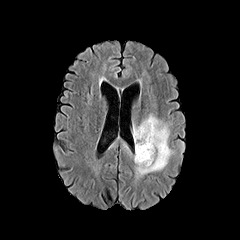
FLAIR magnetic resonance.
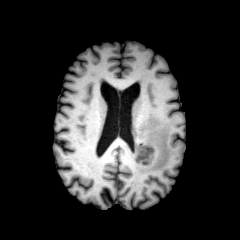
T1-weighted MR.
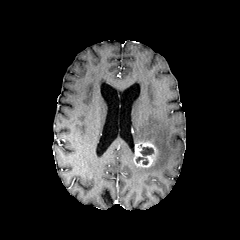
Post-contrast T1-weighted magnetic resonance of the same slice.
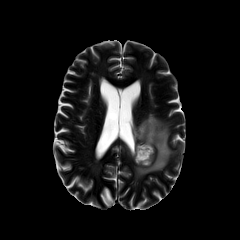
Same slice, T2-weighted MR.
Brain
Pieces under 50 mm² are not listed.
Segmented structures:
- enhancing tumor: x1=134 y1=142 x2=155 y2=167
- peritumoral edema: x1=133 y1=113 x2=173 y2=180
- necrotic tumor core: x1=136 y1=157 x2=148 y2=164, x1=140 y1=147 x2=153 y2=155